Slice index 117 | Axial slice | Image width 240 mm, 1.00 mm slice spacing | Head
FLAIR MR image.
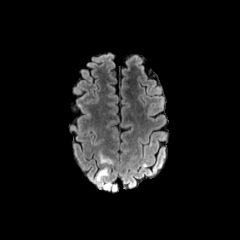
T1-weighted MR image.
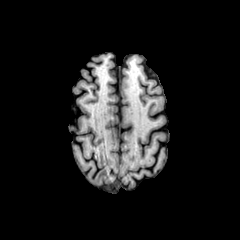
Post-contrast T1-weighted MRI.
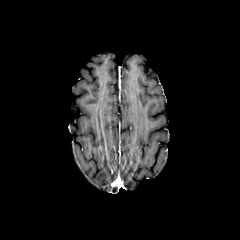
T2-weighted magnetic resonance.
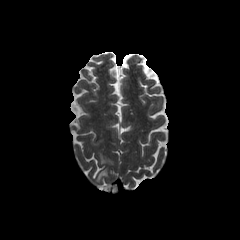
peritumoral edema — [95,168,108,182], [99,153,112,163]